240x240
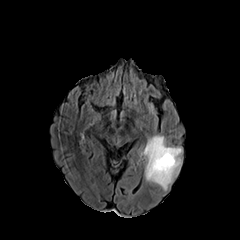
FLAIR MR image.
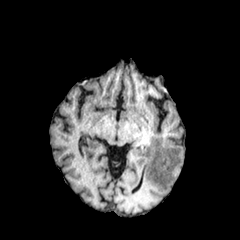
T1-weighted MR.
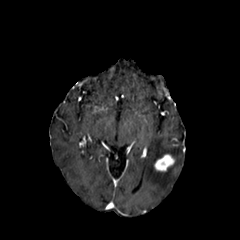
Same slice, post-contrast T1-weighted magnetic resonance.
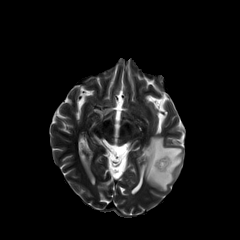
Same slice, T2-weighted MR image.
The enhancing tumor is at (154,154,175,171). The peritumoral edema lies within (144,136,182,191).